FLAIR MR image.
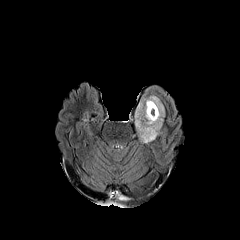
T1-weighted MR.
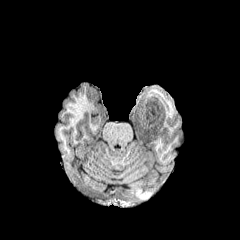
Post-contrast T1-weighted magnetic resonance.
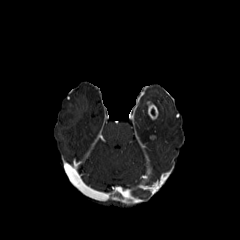
T2-weighted MR image.
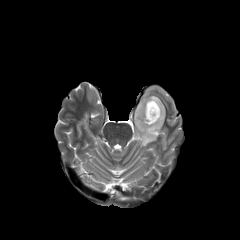
Brain, Axial plane
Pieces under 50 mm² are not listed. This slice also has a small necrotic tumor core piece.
peritumoral edema: left=135, top=94, right=164, bottom=142 | enhancing tumor: left=146, top=101, right=158, bottom=120